Slice index 78
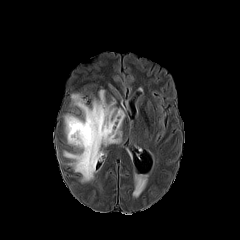
FLAIR MR.
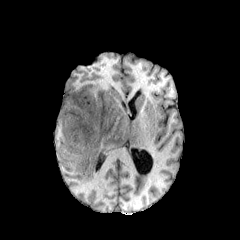
T1-weighted MR image.
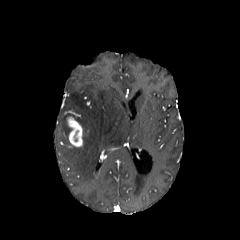
Post-contrast T1-weighted MR.
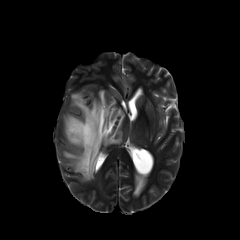
Same slice, T2-weighted magnetic resonance.
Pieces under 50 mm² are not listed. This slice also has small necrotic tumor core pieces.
enhancing_tumor:
  - 67 116 82 146
peritumoral_edema:
  - 63 89 124 182
  - 132 167 148 198
  - 64 114 71 144